Head, Image size 240x240
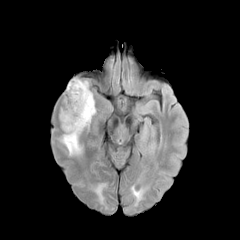
FLAIR MR.
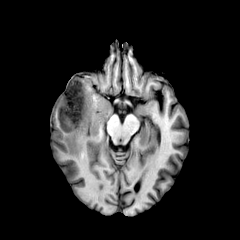
T1-weighted magnetic resonance of the same slice.
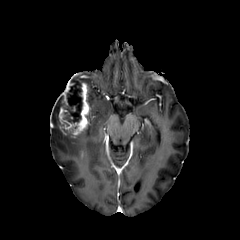
Post-contrast T1-weighted magnetic resonance of the same slice.
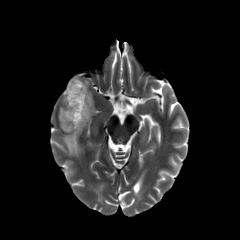
Same slice, T2-weighted MRI.
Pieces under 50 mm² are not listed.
<segmentation>
  <necrotic_tumor_core>63 81 82 122</necrotic_tumor_core>
  <enhancing_tumor>59 79 89 137</enhancing_tumor>
  <peritumoral_edema>61 135 81 155, 84 81 95 126</peritumoral_edema>
</segmentation>